Slice index 118; 240x240
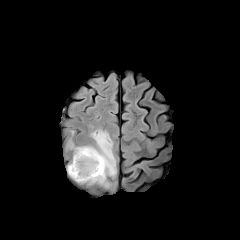
FLAIR MR.
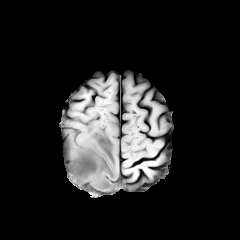
Same slice, T1-weighted MRI.
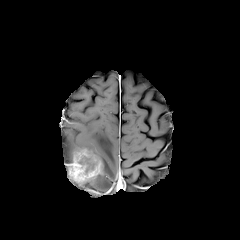
Same slice, post-contrast T1-weighted MR.
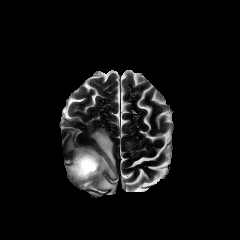
T2-weighted magnetic resonance of the same slice.
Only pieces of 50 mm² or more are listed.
{
  "peritumoral_edema": [
    "<box>80,129,116,177</box>",
    "<box>83,175,111,188</box>"
  ],
  "enhancing_tumor": [
    "<box>68,146,105,183</box>"
  ],
  "necrotic_tumor_core": [
    "<box>80,157,94,172</box>"
  ]
}